FLAIR MRI.
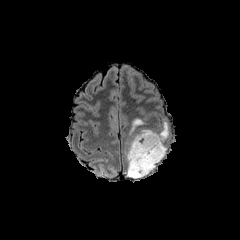
T1-weighted MR image.
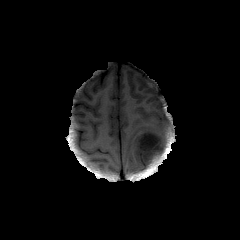
Post-contrast T1-weighted MR image.
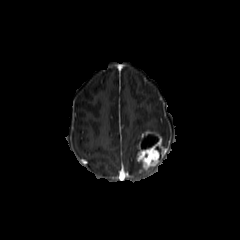
T2-weighted MRI.
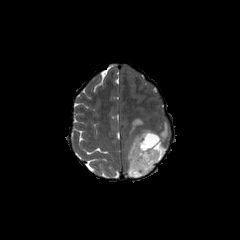
240x240; Axial slice; Brain
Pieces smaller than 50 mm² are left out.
enhancing tumor — region(136, 130, 167, 172)
peritumoral edema — region(125, 129, 152, 178); region(157, 121, 169, 146); region(129, 118, 144, 135)
necrotic tumor core — region(141, 134, 158, 149)